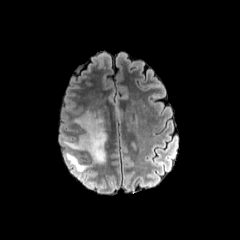
FLAIR MRI.
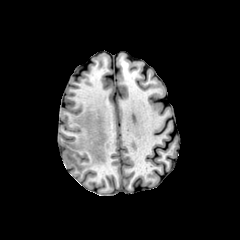
Same slice, T1-weighted MR image.
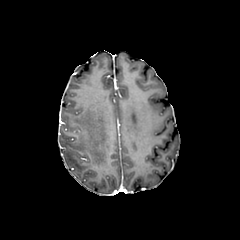
Post-contrast T1-weighted MRI.
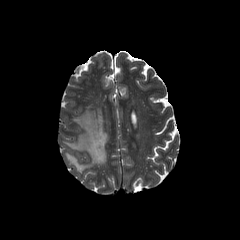
Same slice, T2-weighted MR.
Head, 240x240, Axial view
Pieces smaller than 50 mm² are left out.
The 2 largest peritumoral edema regions are located at [x1=63, y1=111, x2=106, y2=163], [x1=65, y1=153, x2=91, y2=172].